Axial slice; Head
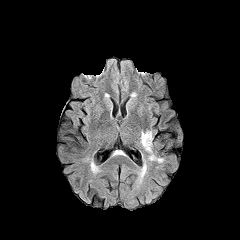
FLAIR MR image.
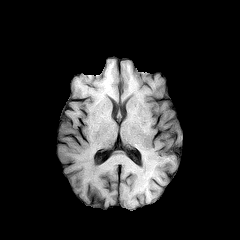
T1-weighted magnetic resonance of the same slice.
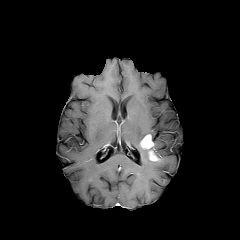
Post-contrast T1-weighted MR.
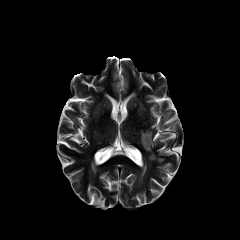
Same slice, T2-weighted MRI.
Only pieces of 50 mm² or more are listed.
Findings:
• enhancing tumor: (140, 134, 154, 149), (149, 150, 159, 160)
• peritumoral edema: (140, 162, 146, 176), (140, 130, 152, 141)